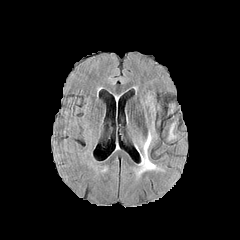
FLAIR MR image.
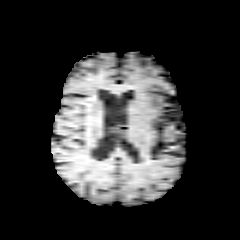
T1-weighted MRI of the same slice.
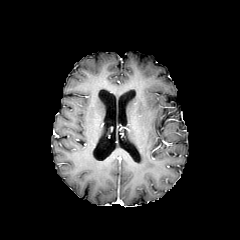
Post-contrast T1-weighted MR image.
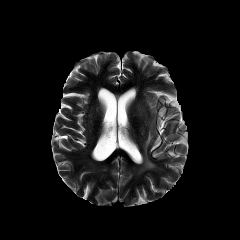
T2-weighted MR.
240x240 px
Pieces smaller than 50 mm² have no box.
peritumoral edema: <box>141,132,155,171</box>